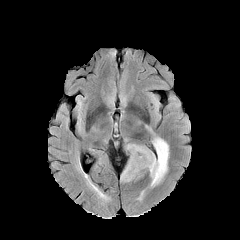
FLAIR MRI.
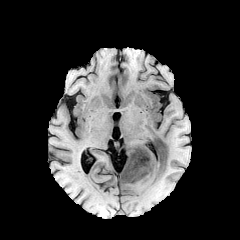
T1-weighted MR.
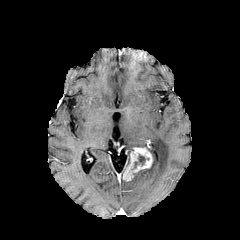
Post-contrast T1-weighted MR image.
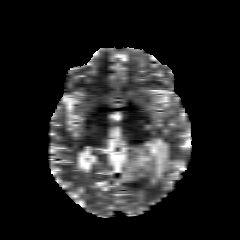
Same slice, T2-weighted MRI.
Head.
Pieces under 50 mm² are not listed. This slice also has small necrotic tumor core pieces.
peritumoral edema: l=126, t=144, r=145, b=152; l=145, t=126, r=169, b=186 | enhancing tumor: l=122, t=143, r=153, b=181